FLAIR magnetic resonance.
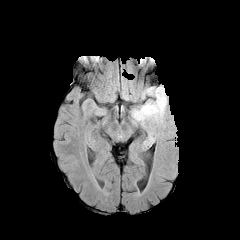
T1-weighted MR image.
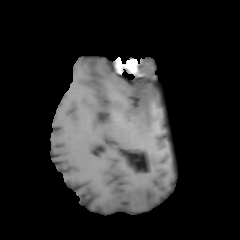
Post-contrast T1-weighted magnetic resonance.
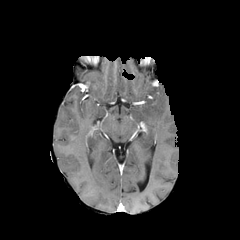
T2-weighted MRI.
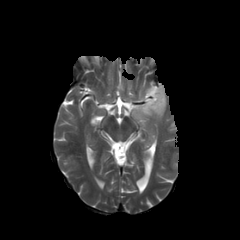
Axial view, Brain
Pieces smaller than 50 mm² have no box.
peritumoral edema = [x1=131, y1=86, x2=166, y2=127]